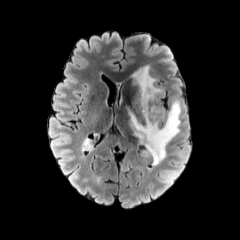
FLAIR MRI.
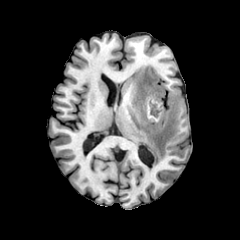
T1-weighted MR image of the same slice.
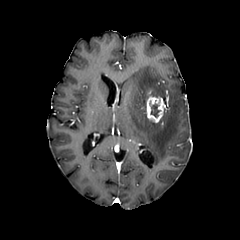
Same slice, post-contrast T1-weighted MR image.
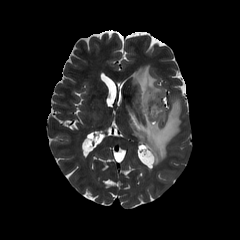
T2-weighted MR.
240x240 px | Head
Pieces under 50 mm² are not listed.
necrotic tumor core: (x1=151, y1=104, x2=159, y2=117) | enhancing tumor: (x1=146, y1=90, x2=164, y2=122) | peritumoral edema: (x1=129, y1=65, x2=181, y2=165)